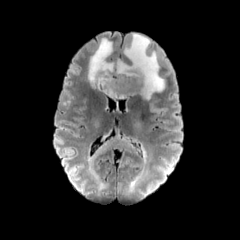
FLAIR magnetic resonance.
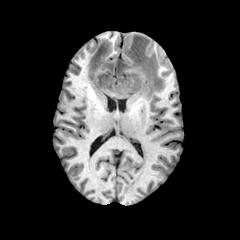
Same slice, T1-weighted magnetic resonance.
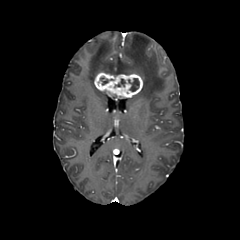
Same slice, post-contrast T1-weighted MR.
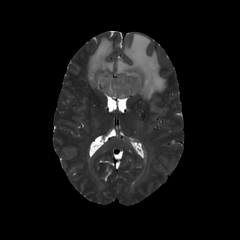
Same slice, T2-weighted magnetic resonance.
Head.
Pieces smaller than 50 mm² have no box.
enhancing tumor: box=[94, 72, 143, 98]
necrotic tumor core: box=[128, 78, 139, 91]
peritumoral edema: box=[87, 33, 166, 121]; box=[94, 139, 135, 158]